Slice 115/155; 240x240; Axial view
FLAIR MRI.
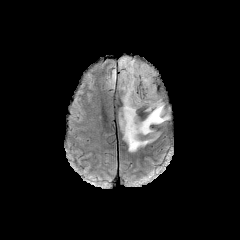
T1-weighted magnetic resonance.
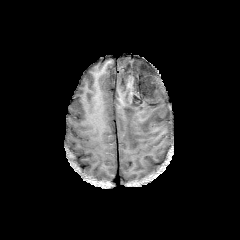
Post-contrast T1-weighted MR image.
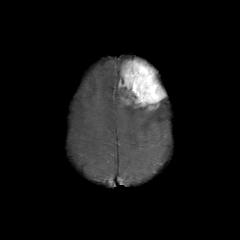
T2-weighted MRI.
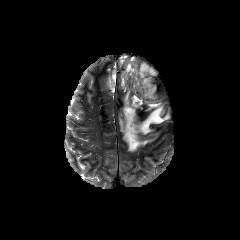
enhancing tumor: left=118, top=58, right=165, bottom=110 | peritumoral edema: left=119, top=57, right=132, bottom=68; left=107, top=69, right=116, bottom=86; left=120, top=101, right=170, bottom=151